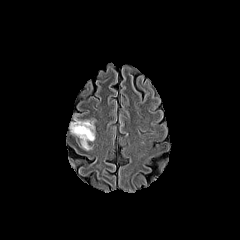
FLAIR MRI.
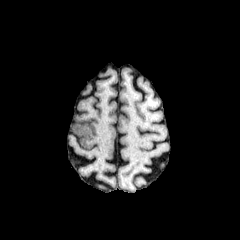
Same slice, T1-weighted MR image.
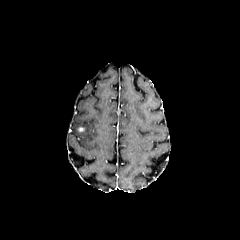
Same slice, post-contrast T1-weighted MRI.
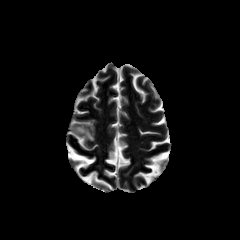
T2-weighted MR.
Image size 240x240. Axial slice.
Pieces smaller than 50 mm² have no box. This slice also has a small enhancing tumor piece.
{
  "peritumoral_edema": [
    "<box>71,118,95,150</box>"
  ]
}